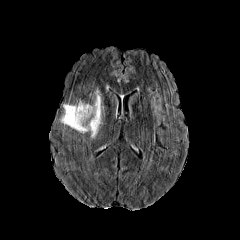
FLAIR MR image.
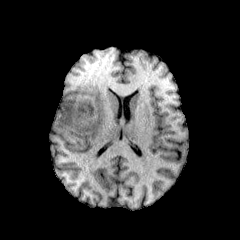
T1-weighted MR image of the same slice.
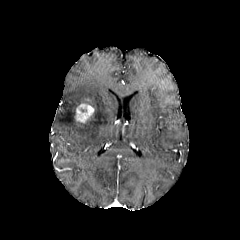
Post-contrast T1-weighted magnetic resonance of the same slice.
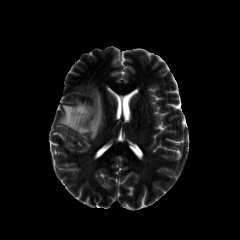
Same slice, T2-weighted magnetic resonance.
Brain | Axial view
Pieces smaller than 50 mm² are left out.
<segmentation>
  <peritumoral_edema>[x1=60, y1=90, x2=101, y2=138]</peritumoral_edema>
  <enhancing_tumor>[x1=74, y1=103, x2=94, y2=123]</enhancing_tumor>
</segmentation>